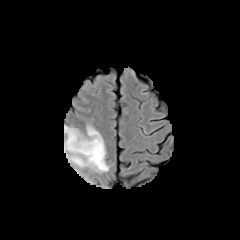
FLAIR MRI.
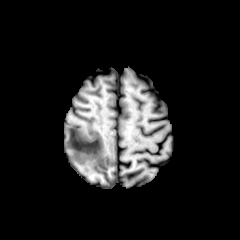
T1-weighted magnetic resonance of the same slice.
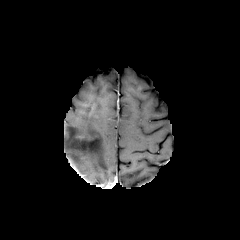
Post-contrast T1-weighted MRI.
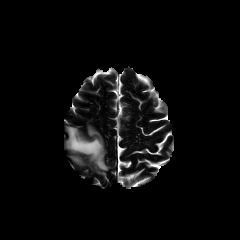
T2-weighted MRI.
Head
The peritumoral edema is at <box>64,125,109,172</box>.